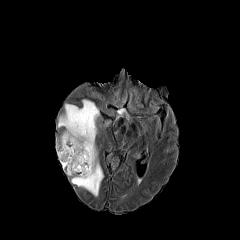
FLAIR MR image.
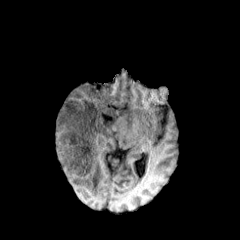
T1-weighted MR.
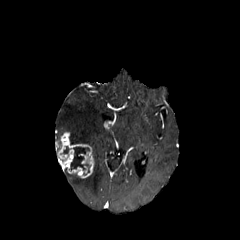
Same slice, post-contrast T1-weighted MRI.
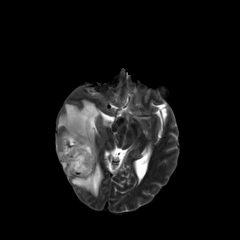
T2-weighted magnetic resonance.
Axial slice
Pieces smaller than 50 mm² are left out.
- enhancing tumor: x1=56 y1=132 x2=94 y2=178
- peritumoral edema: x1=57 y1=99 x2=104 y2=196
- necrotic tumor core: x1=71 y1=147 x2=89 y2=172